Brain
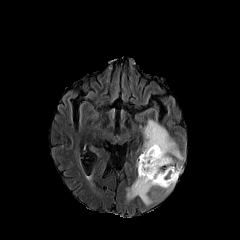
FLAIR MR.
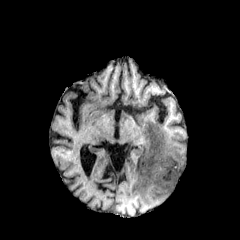
T1-weighted MR image of the same slice.
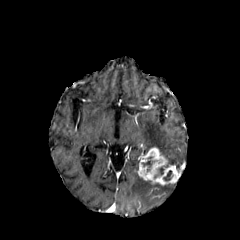
Post-contrast T1-weighted MR.
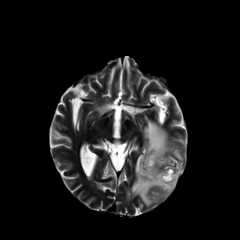
T2-weighted MRI.
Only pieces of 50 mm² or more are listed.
Findings:
• peritumoral edema: {"x1": 142, "y1": 119, "x2": 183, "y2": 168}, {"x1": 127, "y1": 175, "x2": 174, "y2": 205}
• enhancing tumor: {"x1": 138, "y1": 147, "x2": 181, "y2": 185}
• necrotic tumor core: {"x1": 154, "y1": 167, "x2": 163, "y2": 177}, {"x1": 163, "y1": 170, "x2": 171, "y2": 180}, {"x1": 142, "y1": 157, "x2": 154, "y2": 171}